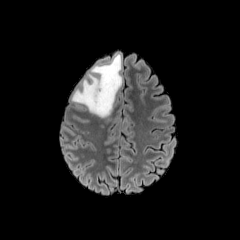
FLAIR MR image.
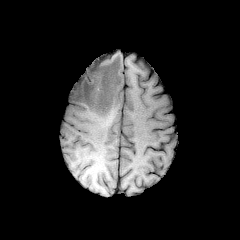
Same slice, T1-weighted MR image.
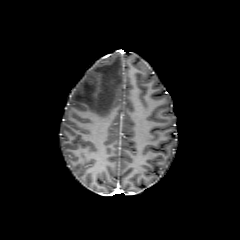
Post-contrast T1-weighted magnetic resonance.
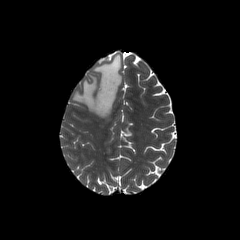
T2-weighted MR of the same slice.
Brain | Image size 240x240
The peritumoral edema is at rect(71, 53, 122, 118).